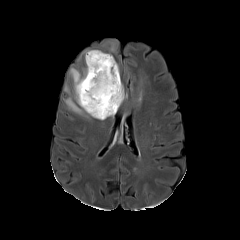
FLAIR MRI.
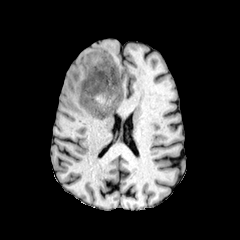
T1-weighted MR.
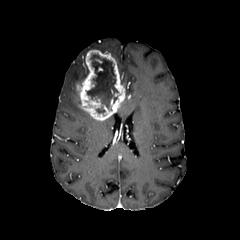
Post-contrast T1-weighted MR image.
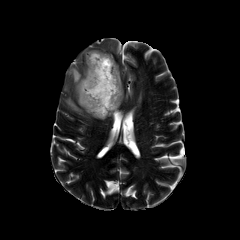
Same slice, T2-weighted magnetic resonance.
Head
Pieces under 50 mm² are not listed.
Findings:
- peritumoral edema: box(70, 65, 88, 104); box(64, 97, 89, 116)
- necrotic tumor core: box(87, 54, 118, 108)
- enhancing tumor: box(76, 50, 125, 120)